Axial view | Brain | Slice 89/155
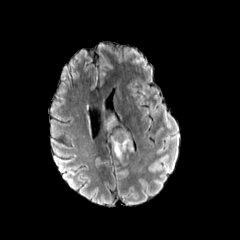
FLAIR MR.
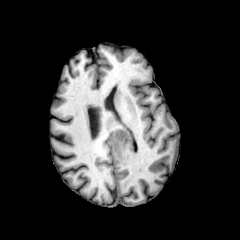
T1-weighted MR image.
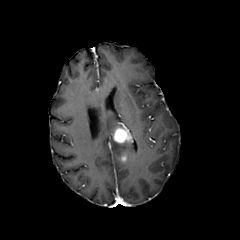
Post-contrast T1-weighted magnetic resonance.
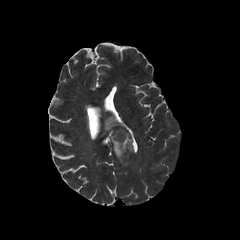
T2-weighted MR image.
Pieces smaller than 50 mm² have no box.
The 2 largest peritumoral edema regions appear at box(106, 117, 115, 130); box(110, 135, 132, 163). The largest enhancing tumor region is located at box(112, 126, 133, 144).